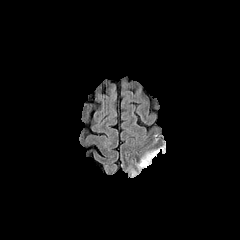
FLAIR MR image.
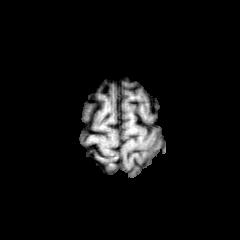
T1-weighted MRI of the same slice.
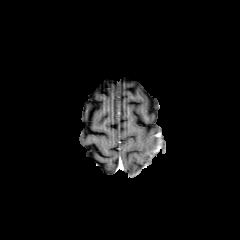
Same slice, post-contrast T1-weighted magnetic resonance.
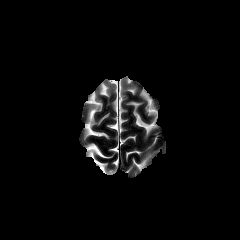
T2-weighted MRI.
Head
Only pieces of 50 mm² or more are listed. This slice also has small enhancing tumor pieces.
peritumoral edema — {"x1": 139, "y1": 151, "x2": 155, "y2": 166}